FLAIR MRI.
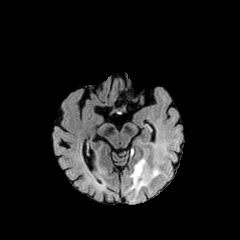
T1-weighted MR.
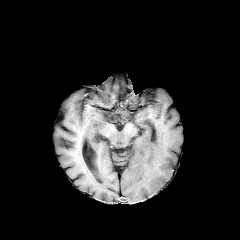
Post-contrast T1-weighted MR image.
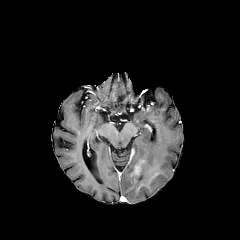
T2-weighted magnetic resonance.
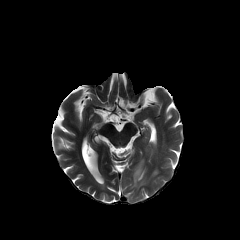
Axial plane.
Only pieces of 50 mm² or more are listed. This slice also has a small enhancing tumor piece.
peritumoral_edema:
  - 129:159:152:191